Head, Image covers 240 mm x 240 mm
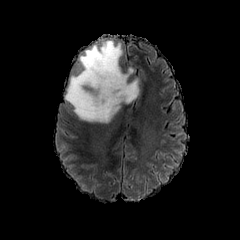
FLAIR MRI.
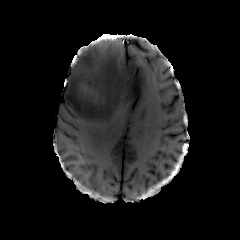
T1-weighted MR.
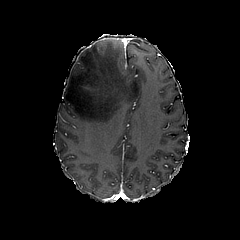
Post-contrast T1-weighted magnetic resonance of the same slice.
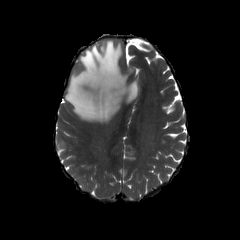
T2-weighted magnetic resonance of the same slice.
The peritumoral edema is located at x1=65, y1=39, x2=138, y2=123.